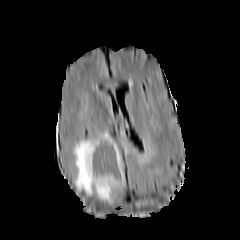
FLAIR MR.
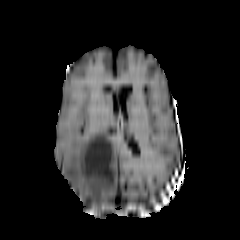
T1-weighted MR image of the same slice.
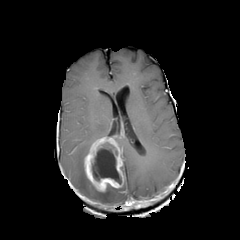
Post-contrast T1-weighted MR.
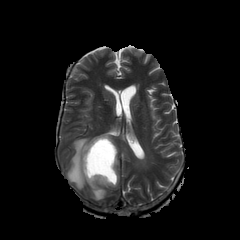
T2-weighted magnetic resonance.
Axial slice | Image size 240x240 | Brain
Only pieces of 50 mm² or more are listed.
The enhancing tumor lies within box=[84, 136, 124, 191]. The largest peritumoral edema region is bounded by box=[73, 132, 115, 201]. The largest necrotic tumor core region appears at box=[92, 143, 121, 184].